Axial plane. Head. Slice index 120.
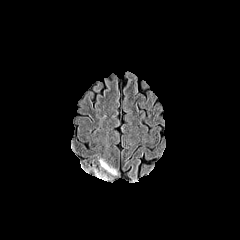
FLAIR magnetic resonance.
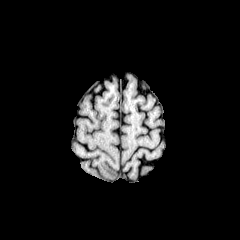
T1-weighted MRI.
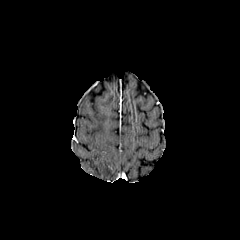
Post-contrast T1-weighted MR.
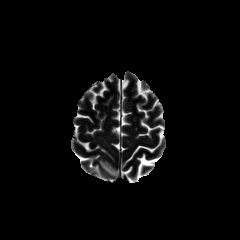
T2-weighted magnetic resonance.
peritumoral edema at <box>95,171,107,180</box>, <box>99,160,116,175</box>